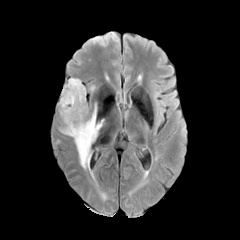
FLAIR MRI.
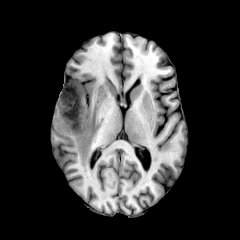
T1-weighted MR.
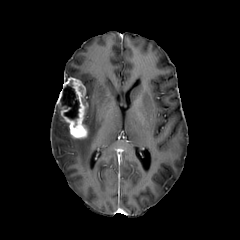
Same slice, post-contrast T1-weighted MR image.
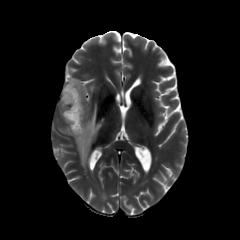
T2-weighted MRI of the same slice.
Axial plane; Brain; 240x240
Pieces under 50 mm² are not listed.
necrotic tumor core = {"x1": 58, "y1": 81, "x2": 79, "y2": 120}
peritumoral edema = {"x1": 74, "y1": 104, "x2": 104, "y2": 168}, {"x1": 60, "y1": 123, "x2": 70, "y2": 135}
enhancing tumor = {"x1": 60, "y1": 78, "x2": 87, "y2": 138}